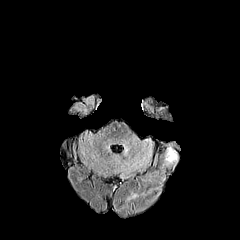
FLAIR magnetic resonance.
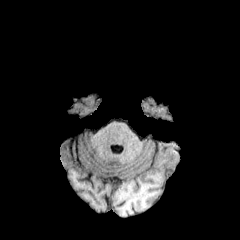
Same slice, T1-weighted MR.
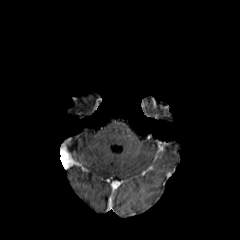
Post-contrast T1-weighted MR of the same slice.
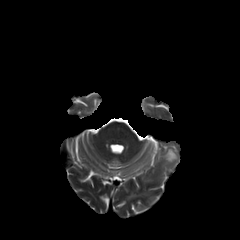
T2-weighted magnetic resonance.
• peritumoral edema: (left=166, top=149, right=176, bottom=161)